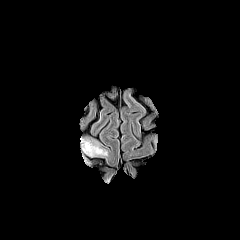
FLAIR magnetic resonance.
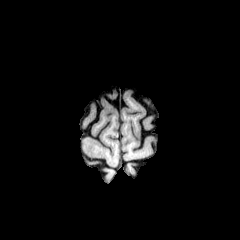
T1-weighted MR.
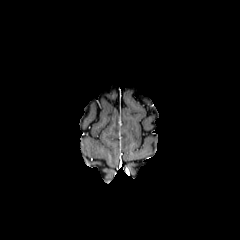
Same slice, post-contrast T1-weighted MR.
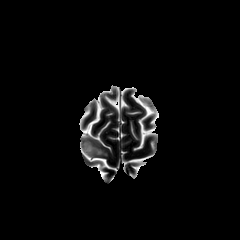
T2-weighted MRI.
240x240 px. Axial slice. Brain.
The peritumoral edema is bounded by 82 140 107 155.